Image width 240 mm, 1.00 mm slice spacing
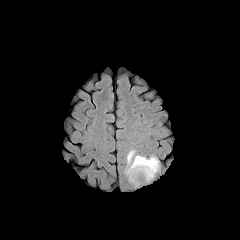
FLAIR magnetic resonance.
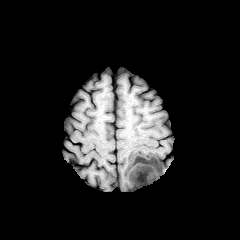
T1-weighted MR.
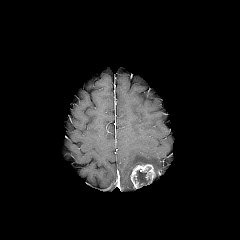
Post-contrast T1-weighted magnetic resonance of the same slice.
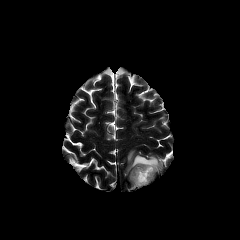
T2-weighted MRI.
The enhancing tumor lies within {"x1": 130, "y1": 164, "x2": 155, "y2": 188}. The peritumoral edema is located at {"x1": 125, "y1": 150, "x2": 159, "y2": 182}. The necrotic tumor core is located at {"x1": 135, "y1": 170, "x2": 150, "y2": 185}.